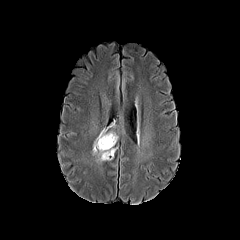
FLAIR MR image.
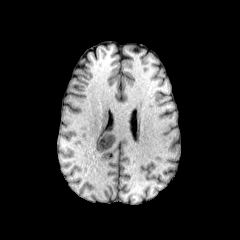
T1-weighted magnetic resonance.
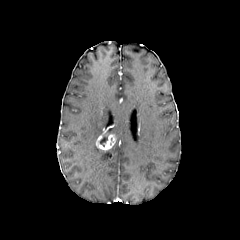
Same slice, post-contrast T1-weighted magnetic resonance.
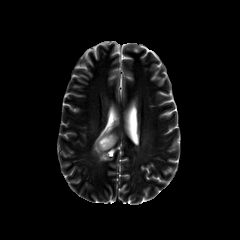
T2-weighted magnetic resonance.
Axial plane | Head
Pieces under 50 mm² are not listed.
peritumoral edema — 93, 141, 116, 161
enhancing tumor — 96, 134, 115, 150
necrotic tumor core — 100, 135, 107, 146